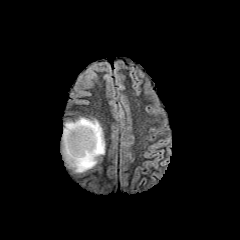
FLAIR magnetic resonance.
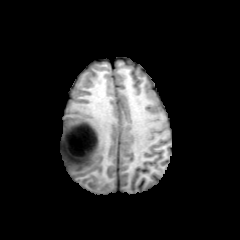
Same slice, T1-weighted MR.
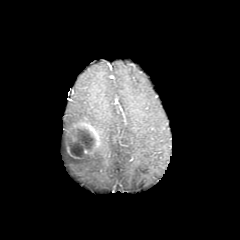
Same slice, post-contrast T1-weighted MR.
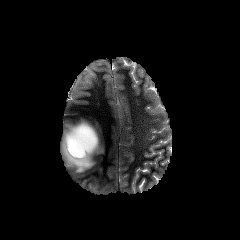
T2-weighted MRI of the same slice.
240x240.
Findings:
• necrotic tumor core: rect(66, 140, 86, 156); rect(75, 127, 95, 151)
• enhancing tumor: rect(63, 122, 99, 158)
• peritumoral edema: rect(61, 117, 104, 173)